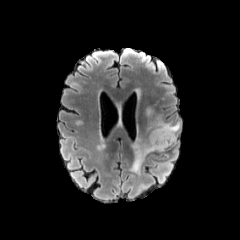
FLAIR magnetic resonance.
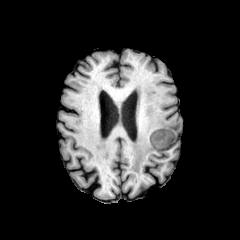
T1-weighted MR.
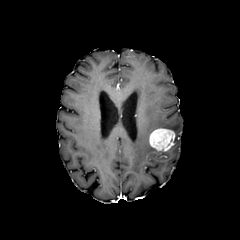
Post-contrast T1-weighted MR.
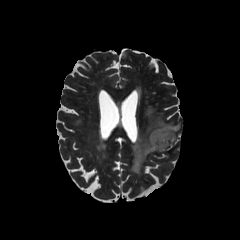
T2-weighted MR image.
Axial slice.
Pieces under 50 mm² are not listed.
The largest peritumoral edema region is located at box(130, 100, 180, 173). The enhancing tumor appears at box(149, 128, 175, 151).